FLAIR MR image.
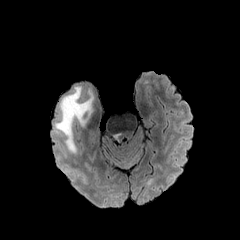
T1-weighted MRI.
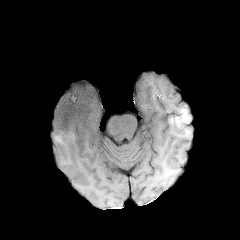
Post-contrast T1-weighted MR image.
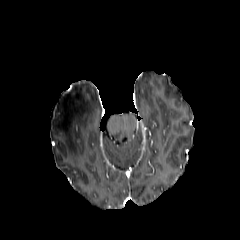
T2-weighted magnetic resonance.
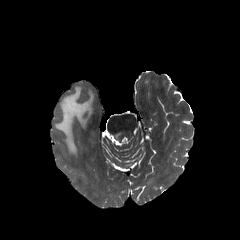
Head
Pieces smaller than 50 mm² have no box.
* peritumoral edema: 54 86 94 154